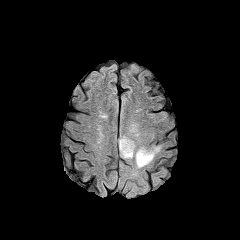
FLAIR MR.
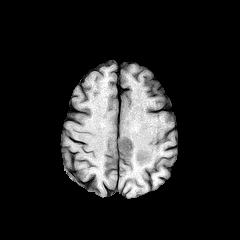
T1-weighted MRI.
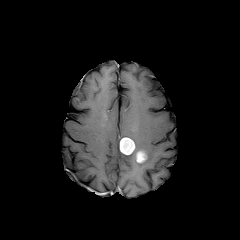
Post-contrast T1-weighted magnetic resonance.
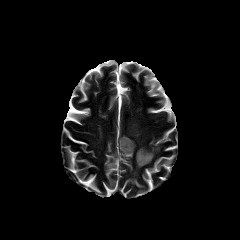
T2-weighted MR.
Head. 240x240 px. Axial plane.
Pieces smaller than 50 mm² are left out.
{"enhancing_tumor": ["(left=120, top=137, right=134, bottom=154)", "(left=136, top=151, right=146, bottom=162)"], "peritumoral_edema": ["(left=120, top=146, right=161, bottom=168)", "(left=129, top=124, right=139, bottom=136)"]}